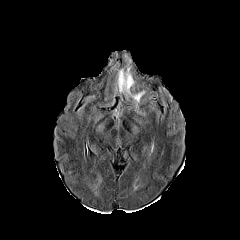
FLAIR MR.
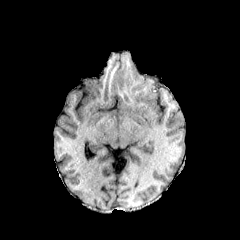
T1-weighted MR.
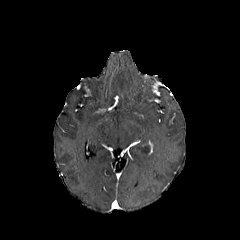
Post-contrast T1-weighted MR.
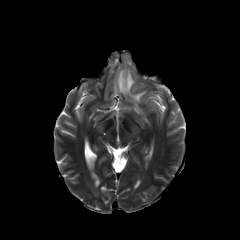
T2-weighted MR.
Head, Axial slice
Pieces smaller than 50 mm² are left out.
Segmented structures:
- peritumoral edema: 117 68 144 108